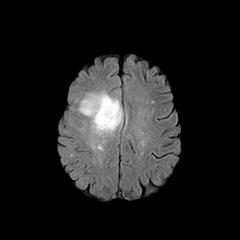
FLAIR MR.
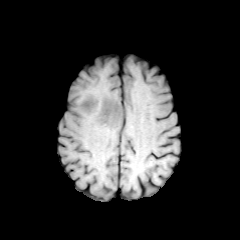
T1-weighted magnetic resonance.
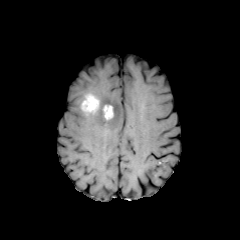
Post-contrast T1-weighted MR image.
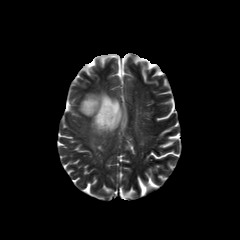
T2-weighted magnetic resonance of the same slice.
Head, 240x240
peritumoral edema — x1=78, y1=90, x2=123, y2=150
enhancing tumor — x1=102, y1=104, x2=113, y2=120; x1=81, y1=94, x2=99, y2=114